Image width 240 mm, 1.00 mm slice spacing
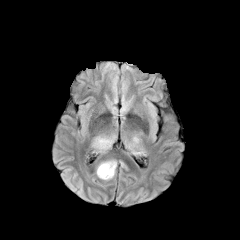
FLAIR MRI.
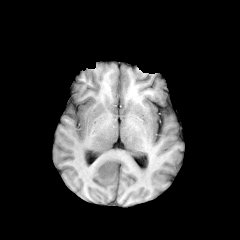
T1-weighted MR.
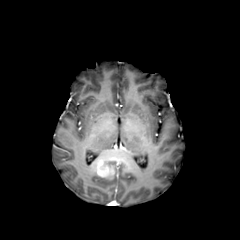
Same slice, post-contrast T1-weighted MRI.
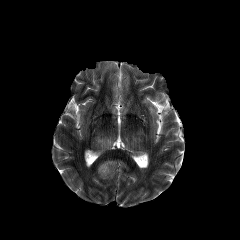
Same slice, T2-weighted MR image.
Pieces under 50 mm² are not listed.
The enhancing tumor lies within x1=96 y1=161 x2=115 y2=177. The 2 largest peritumoral edema regions are located at x1=94 y1=137 x2=112 y2=151, x1=104 y1=159 x2=116 y2=171.